FLAIR magnetic resonance.
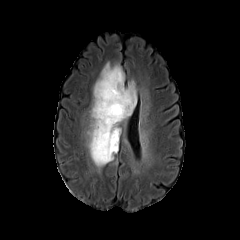
T1-weighted MR image.
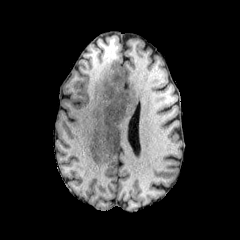
Post-contrast T1-weighted MRI.
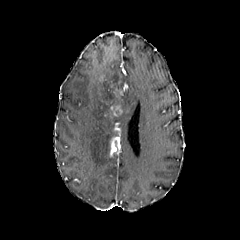
T2-weighted MR image.
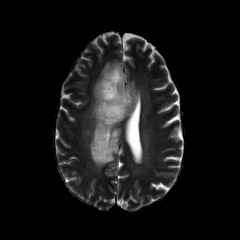
Brain | 240x240 px
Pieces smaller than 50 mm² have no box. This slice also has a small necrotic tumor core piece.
enhancing tumor: bounding box <box>109,123,120,156</box>, <box>113,87,123,97</box>, <box>110,104,123,117</box>
peritumoral edema: bounding box <box>88,62,137,167</box>